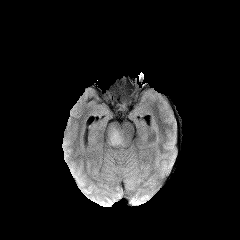
FLAIR MR.
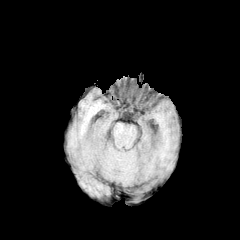
T1-weighted MR of the same slice.
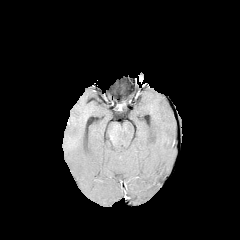
Same slice, post-contrast T1-weighted MRI.
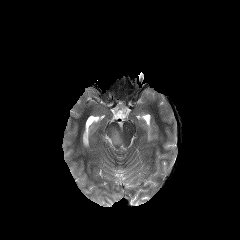
Same slice, T2-weighted MR image.
Axial slice, 240x240
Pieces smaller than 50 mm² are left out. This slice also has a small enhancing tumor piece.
The peritumoral edema is at (110, 129, 121, 144).